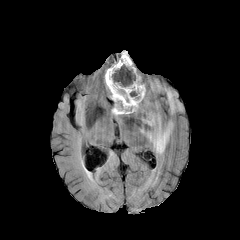
FLAIR MR.
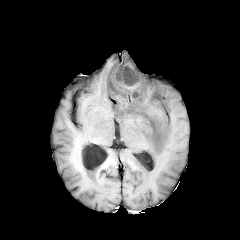
T1-weighted MRI.
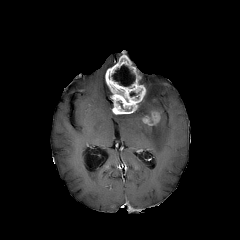
Post-contrast T1-weighted MR.
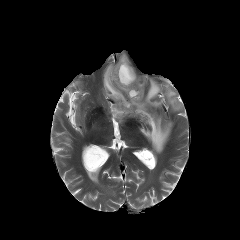
T2-weighted MRI.
Brain.
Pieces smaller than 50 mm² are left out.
{
  "enhancing_tumor": [
    "143 112 160 125",
    "105 51 146 114"
  ],
  "necrotic_tumor_core": [
    "112 65 135 86"
  ],
  "peritumoral_edema": [
    "140 115 173 154",
    "134 80 183 120"
  ]
}